240x240, Axial slice, Slice index 65
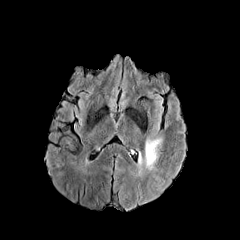
FLAIR MR.
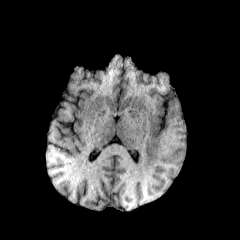
T1-weighted magnetic resonance of the same slice.
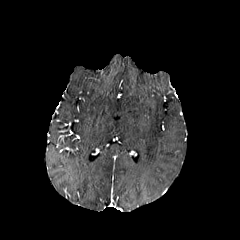
Post-contrast T1-weighted MR image.
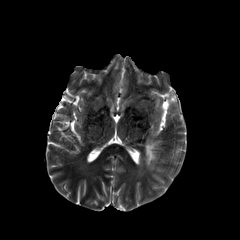
T2-weighted MRI.
peritumoral_edema:
  - <bbox>145, 139, 160, 169</bbox>